FLAIR MRI.
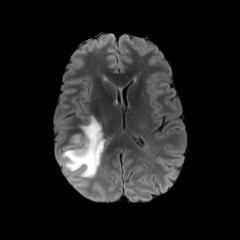
T1-weighted MR.
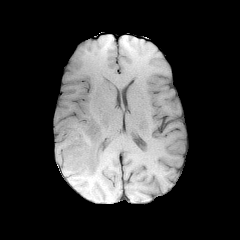
Post-contrast T1-weighted MRI.
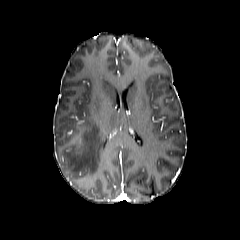
T2-weighted magnetic resonance.
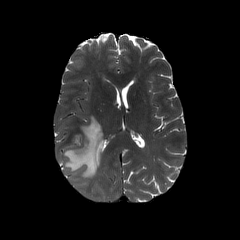
peritumoral edema at (x1=57, y1=116, x2=104, y2=180)